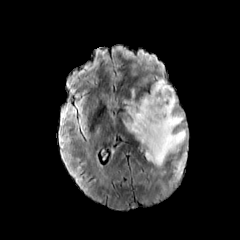
FLAIR magnetic resonance.
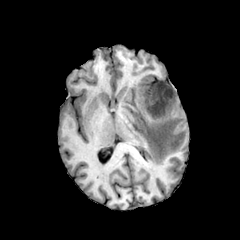
Same slice, T1-weighted magnetic resonance.
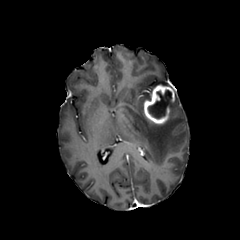
Post-contrast T1-weighted MR of the same slice.
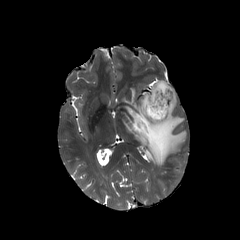
Same slice, T2-weighted MR.
240x240; Axial slice
2 peritumoral edema regions are bounded by (x1=152, y1=79, x2=171, y2=88), (x1=124, y1=89, x2=186, y2=166). The enhancing tumor is bounded by (x1=143, y1=84, x2=174, y2=124). The necrotic tumor core is bounded by (x1=148, y1=90, x2=171, y2=118).